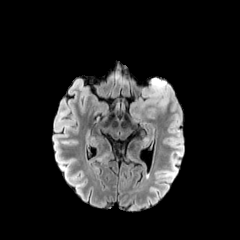
FLAIR MR.
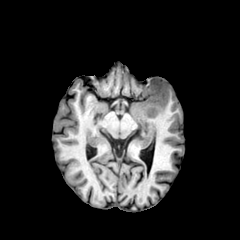
Same slice, T1-weighted magnetic resonance.
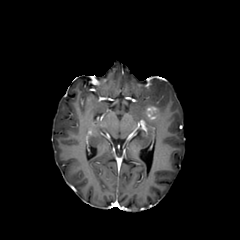
Post-contrast T1-weighted MR.
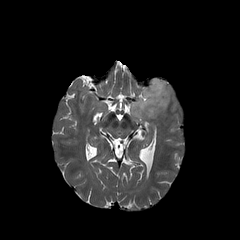
T2-weighted magnetic resonance of the same slice.
<segmentation>
  <peritumoral_edema>box(130, 78, 171, 120)</peritumoral_edema>
  <enhancing_tumor>box(146, 106, 158, 119)</enhancing_tumor>
</segmentation>